FLAIR MR.
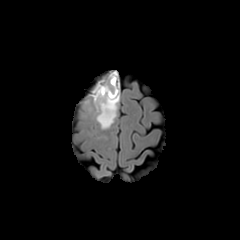
T1-weighted MRI.
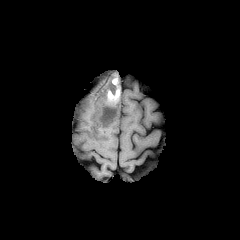
Post-contrast T1-weighted magnetic resonance.
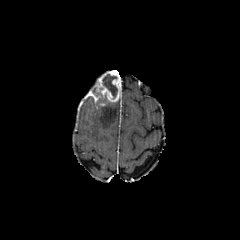
T2-weighted MR image.
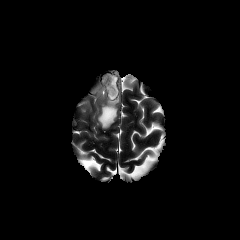
240x240 px; Brain; Axial slice
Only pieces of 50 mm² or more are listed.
Annotated regions:
- necrotic tumor core: [103, 74, 117, 97]
- peritumoral edema: [95, 101, 118, 129]
- enhancing tumor: [92, 71, 119, 106]